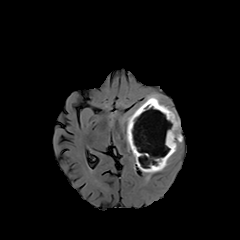
FLAIR magnetic resonance.
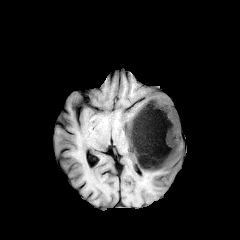
T1-weighted MR of the same slice.
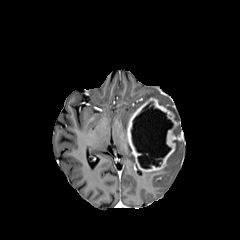
Post-contrast T1-weighted MRI.
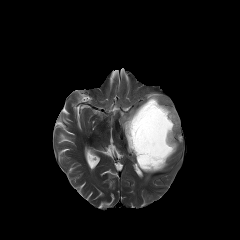
T2-weighted MRI.
Axial view | Brain
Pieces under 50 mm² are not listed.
necrotic tumor core: x1=131 y1=101 x2=173 y2=168 | peritumoral edema: x1=139 y1=93 x2=179 y2=120, x1=121 y1=108 x2=137 y2=128, x1=167 y1=141 x2=182 y2=165, x1=144 y1=168 x2=164 y2=179 | enhancing tumor: x1=126 y1=98 x2=183 y2=171